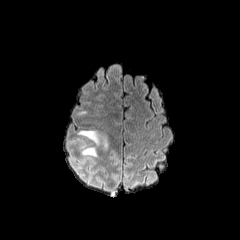
FLAIR MRI.
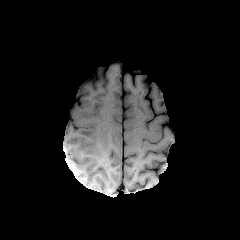
T1-weighted magnetic resonance.
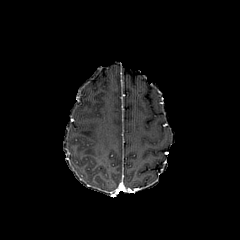
Post-contrast T1-weighted MR image.
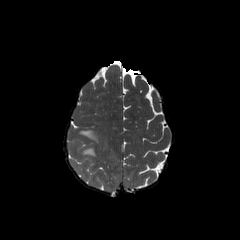
Same slice, T2-weighted magnetic resonance.
Axial view; Head
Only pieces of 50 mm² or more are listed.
peritumoral edema = [78,130,108,156]